FLAIR MR.
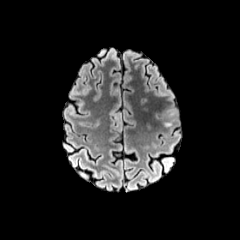
T1-weighted MR image.
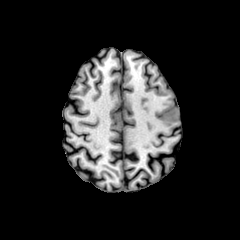
Post-contrast T1-weighted magnetic resonance.
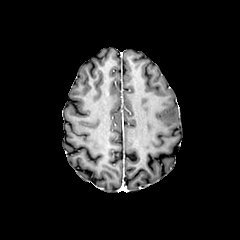
T2-weighted MRI.
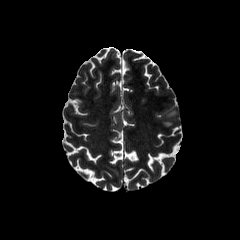
Axial slice, 240x240
peritumoral_edema:
  - (left=163, top=110, right=176, bottom=126)